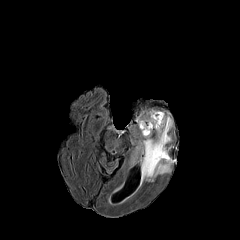
FLAIR MR.
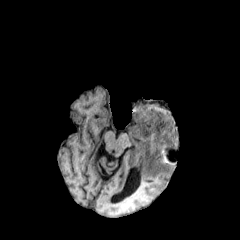
T1-weighted magnetic resonance of the same slice.
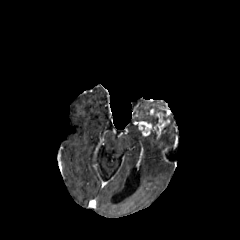
Same slice, post-contrast T1-weighted MRI.
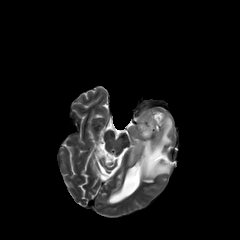
Same slice, T2-weighted MR image.
Head; Axial plane; 240x240
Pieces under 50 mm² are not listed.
The largest enhancing tumor region is at left=138, top=109, right=169, bottom=138. The 2 largest peritumoral edema regions are located at left=141, top=115, right=173, bottom=183; left=136, top=114, right=147, bottom=122. The largest necrotic tumor core region is at left=147, top=115, right=158, bottom=125.